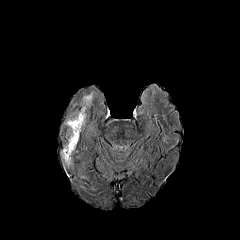
FLAIR MR.
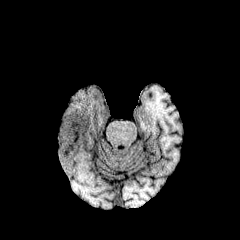
T1-weighted MR image.
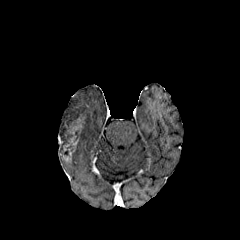
Post-contrast T1-weighted MR image.
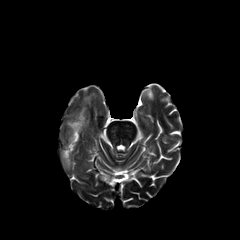
T2-weighted MR image of the same slice.
Head. Axial slice.
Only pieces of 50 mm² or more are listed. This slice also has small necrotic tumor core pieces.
The 2 largest peritumoral edema regions are bounded by bbox=[66, 93, 92, 136]; bbox=[61, 151, 72, 167]. The enhancing tumor is at bbox=[62, 116, 83, 162].